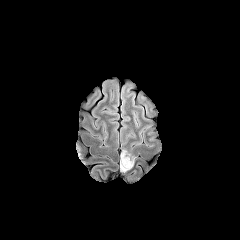
FLAIR MR.
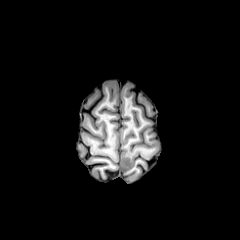
Same slice, T1-weighted MR image.
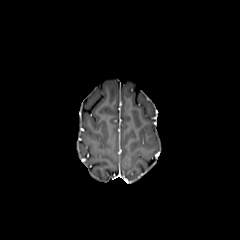
Post-contrast T1-weighted MRI.
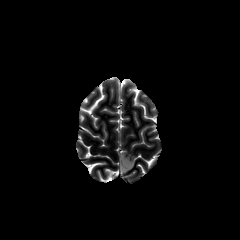
T2-weighted MRI.
Brain | Axial slice
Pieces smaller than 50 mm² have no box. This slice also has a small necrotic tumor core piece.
peritumoral_edema:
  - <box>120,149,136,172</box>
enhancing_tumor:
  - <box>124,155,130,166</box>